Brain.
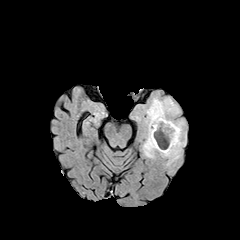
FLAIR magnetic resonance.
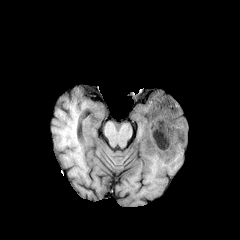
T1-weighted MR.
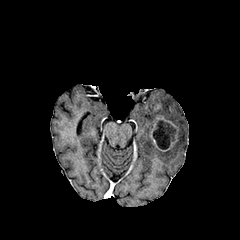
Post-contrast T1-weighted MR image of the same slice.
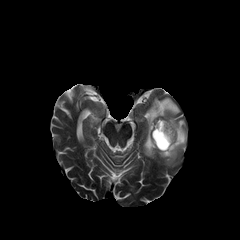
Same slice, T2-weighted magnetic resonance.
Findings:
- peritumoral edema: 143, 97, 186, 165
- enhancing tumor: 150, 115, 178, 151
- necrotic tumor core: 153, 120, 175, 149